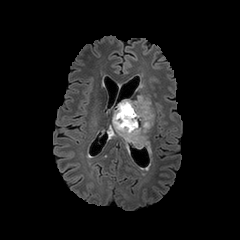
FLAIR MR.
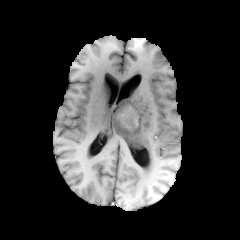
T1-weighted magnetic resonance.
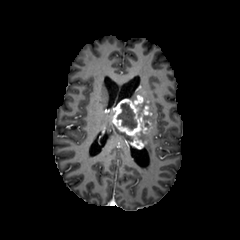
Post-contrast T1-weighted magnetic resonance.
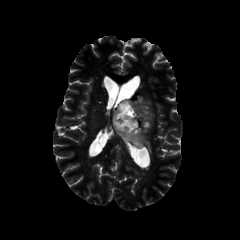
T2-weighted MR.
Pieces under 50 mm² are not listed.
The 2 largest peritumoral edema regions are bounded by {"x1": 138, "y1": 97, "x2": 153, "y2": 141}, {"x1": 113, "y1": 125, "x2": 133, "y2": 141}. The largest enhancing tumor region is at {"x1": 113, "y1": 95, "x2": 151, "y2": 148}. The largest necrotic tumor core region is bounded by {"x1": 117, "y1": 103, "x2": 137, "y2": 130}.